Head | Slice index 99
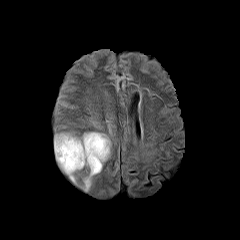
FLAIR magnetic resonance.
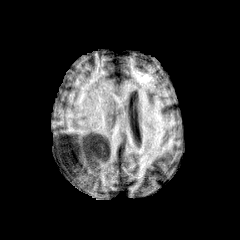
T1-weighted magnetic resonance.
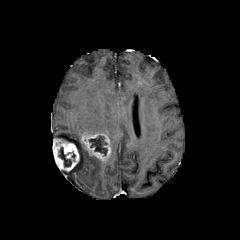
Same slice, post-contrast T1-weighted MR image.
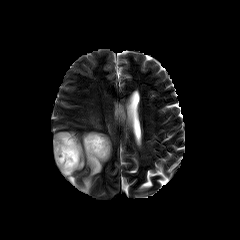
T2-weighted magnetic resonance.
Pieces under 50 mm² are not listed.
enhancing tumor: bounding box (left=81, top=133, right=111, bottom=162), (left=53, top=138, right=79, bottom=171)
necrotic tumor core: bounding box (left=89, top=136, right=107, bottom=155), (left=59, top=147, right=71, bottom=166)
peritumoral edema: bounding box (left=55, top=133, right=103, bottom=191)